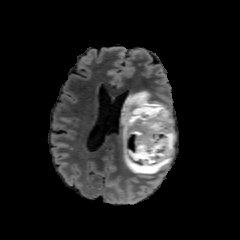
FLAIR magnetic resonance.
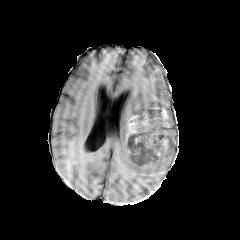
T1-weighted MR of the same slice.
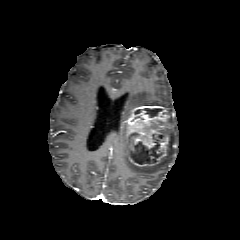
Same slice, post-contrast T1-weighted MR image.
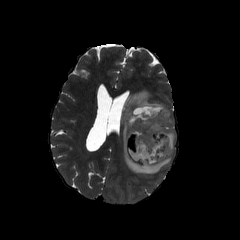
T2-weighted MR.
Brain
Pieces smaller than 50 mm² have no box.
peritumoral edema — x1=121 y1=90 x2=175 y2=175
enhancing tumor — x1=126 y1=105 x2=171 y2=168
necrotic tumor core — x1=144 y1=108 x2=162 y2=117, x1=128 y1=129 x2=166 y2=164